Image size 240x240; Slice 67/155
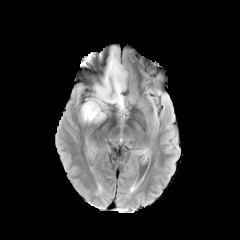
FLAIR magnetic resonance.
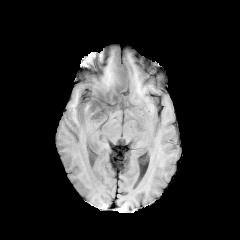
T1-weighted MR.
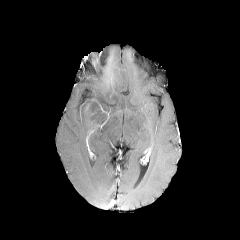
Same slice, post-contrast T1-weighted MRI.
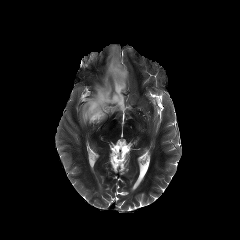
T2-weighted MR image.
Segmented structures:
* peritumoral edema: x1=81, y1=45, x2=127, y2=122